FLAIR MR.
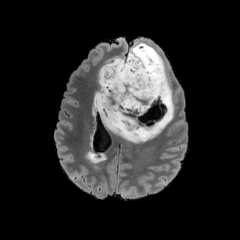
T1-weighted magnetic resonance.
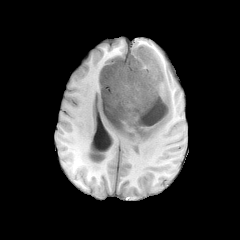
Post-contrast T1-weighted magnetic resonance.
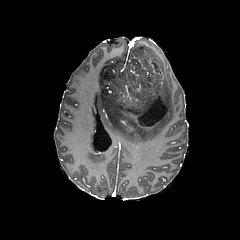
T2-weighted MRI.
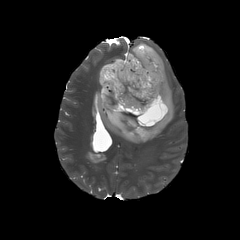
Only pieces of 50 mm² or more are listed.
Annotated regions:
- necrotic tumor core: (x1=100, y1=53, x2=170, y2=129)
- peritumoral edema: (x1=93, y1=43, x2=174, y2=142)